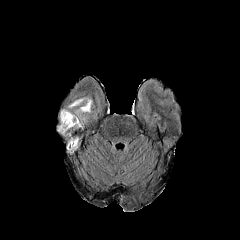
FLAIR MR.
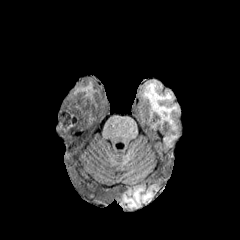
T1-weighted MR image.
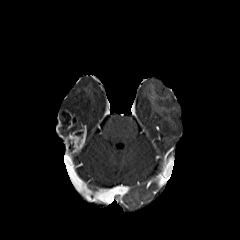
Post-contrast T1-weighted magnetic resonance of the same slice.
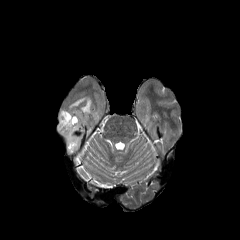
Same slice, T2-weighted MRI.
Axial view | Head
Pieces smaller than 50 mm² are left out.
enhancing tumor = bbox(66, 110, 74, 128); bbox(57, 121, 81, 153)
necrotic tumor core = bbox(58, 112, 78, 136)
peritumoral edema = bbox(60, 97, 92, 127)